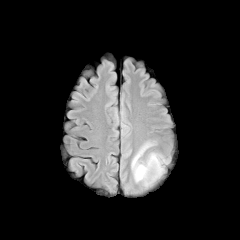
FLAIR MRI.
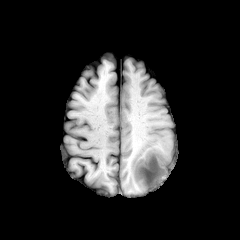
T1-weighted MRI.
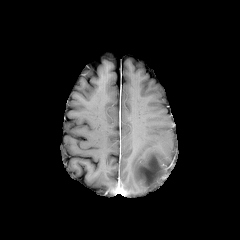
Same slice, post-contrast T1-weighted magnetic resonance.
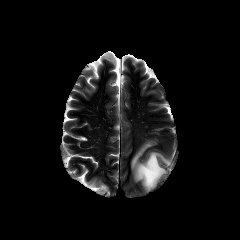
Same slice, T2-weighted MR image.
Axial plane | 240x240
peritumoral_edema:
  - rect(131, 142, 168, 190)